Brain | Image width 240 mm, 1.00 mm slice spacing
FLAIR MRI.
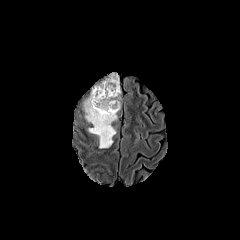
T1-weighted magnetic resonance.
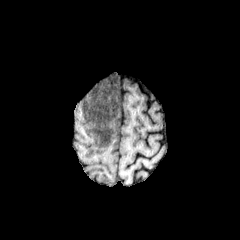
Post-contrast T1-weighted magnetic resonance.
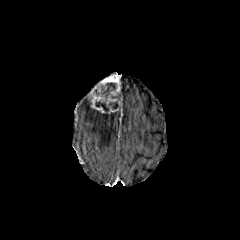
T2-weighted MRI.
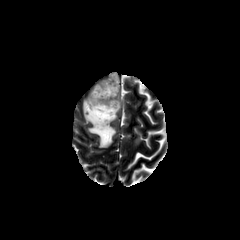
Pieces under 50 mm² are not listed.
<segmentation>
  <peritumoral_edema>{"x1": 84, "y1": 99, "x2": 116, "y2": 148}</peritumoral_edema>
  <enhancing_tumor>{"x1": 88, "y1": 73, "x2": 122, "y2": 113}</enhancing_tumor>
  <necrotic_tumor_core>{"x1": 101, "y1": 83, "x2": 115, "y2": 97}, {"x1": 95, "y1": 101, "x2": 113, "y2": 116}, {"x1": 109, "y1": 101, "x2": 118, "y2": 109}</necrotic_tumor_core>
</segmentation>